240x240 px; Brain; Axial slice
FLAIR MR image.
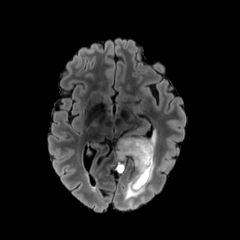
T1-weighted MR.
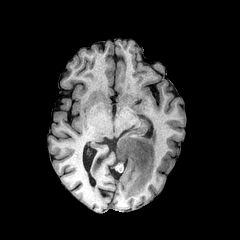
Post-contrast T1-weighted MRI.
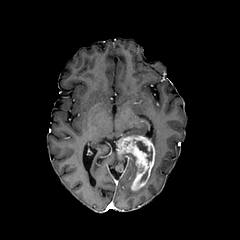
T2-weighted magnetic resonance.
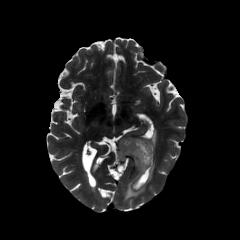
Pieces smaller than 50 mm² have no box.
Segmented structures:
• peritumoral edema: region(124, 175, 145, 199); region(149, 132, 156, 147)
• enhancing tumor: region(117, 164, 125, 172); region(116, 135, 155, 191)
• necrotic tumor core: region(136, 141, 152, 160)